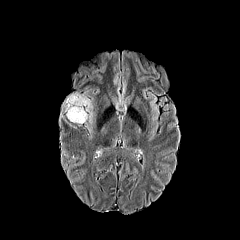
FLAIR MRI.
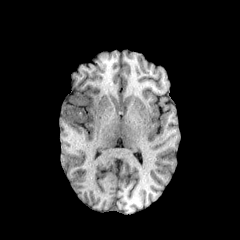
T1-weighted MR of the same slice.
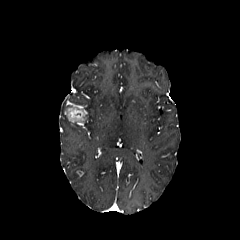
Post-contrast T1-weighted magnetic resonance.
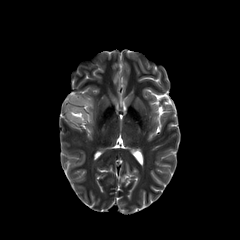
T2-weighted MRI.
Axial plane
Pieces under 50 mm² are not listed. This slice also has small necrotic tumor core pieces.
The enhancing tumor is at left=65, top=100, right=86, bottom=125. The largest peritumoral edema region is at left=69, top=95, right=92, bottom=124.